240x240, Brain, Axial plane
FLAIR MRI.
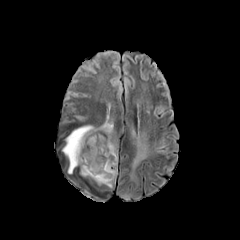
T1-weighted magnetic resonance.
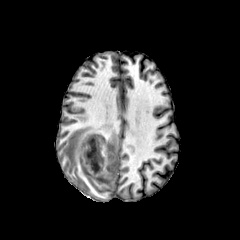
Post-contrast T1-weighted MR image.
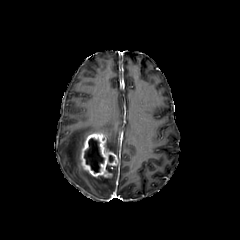
T2-weighted MR.
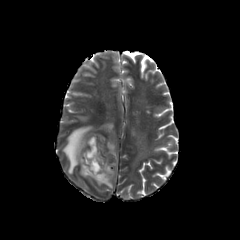
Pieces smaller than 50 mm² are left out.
Segmented structures:
• necrotic tumor core: (left=84, top=138, right=104, bottom=172)
• enhancing tumor: (left=80, top=133, right=118, bottom=177)
• peritumoral edema: (left=133, top=155, right=141, bottom=168), (left=61, top=116, right=118, bottom=173), (left=80, top=166, right=117, bottom=188)